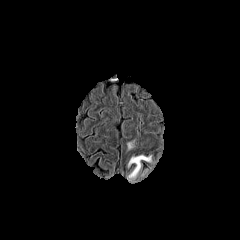
FLAIR MRI.
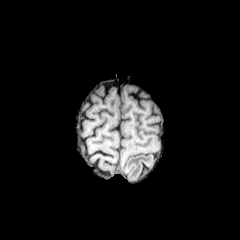
T1-weighted MR image.
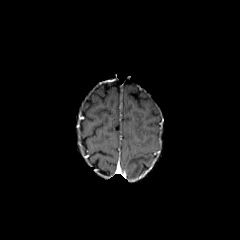
Same slice, post-contrast T1-weighted MR.
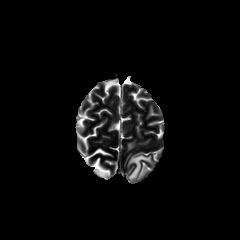
T2-weighted MR.
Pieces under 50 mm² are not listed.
The largest peritumoral edema region is located at (128, 154, 152, 179).